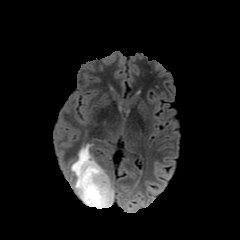
FLAIR MR image.
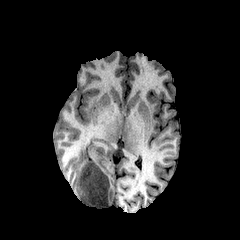
T1-weighted magnetic resonance.
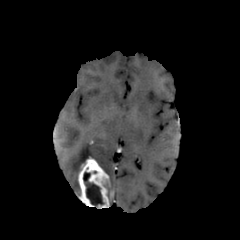
Post-contrast T1-weighted MR of the same slice.
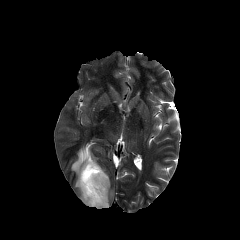
Same slice, T2-weighted MR.
Axial slice. Brain. Image size 240x240.
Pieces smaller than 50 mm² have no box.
peritumoral edema — (71, 144, 94, 195)
enhancing tumor — (78, 157, 113, 208)
necrotic tumor core — (83, 172, 103, 205)